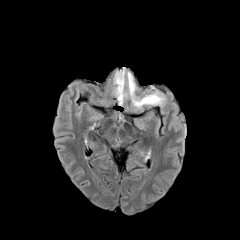
FLAIR MR image.
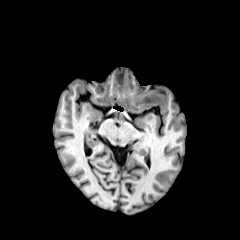
T1-weighted MR image.
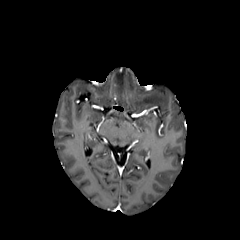
Post-contrast T1-weighted magnetic resonance.
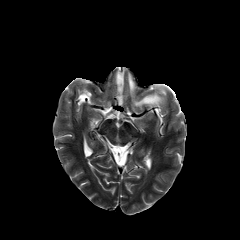
T2-weighted MR image.
2 peritumoral edema regions are located at left=128, top=73, right=165, bottom=107; left=114, top=69, right=124, bottom=104.